Axial view | Slice index 104
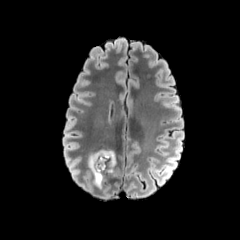
FLAIR MR.
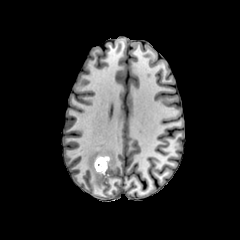
T1-weighted MR image of the same slice.
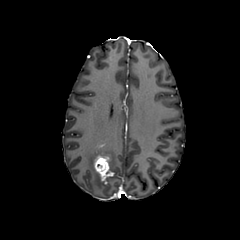
Same slice, post-contrast T1-weighted MR image.
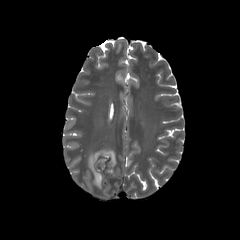
T2-weighted magnetic resonance.
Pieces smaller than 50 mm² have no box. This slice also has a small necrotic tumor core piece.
<segmentation>
  <peritumoral_edema>88,148,115,188</peritumoral_edema>
  <enhancing_tumor>94,155,113,184</enhancing_tumor>
</segmentation>